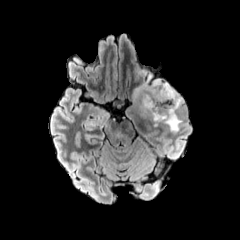
FLAIR MRI.
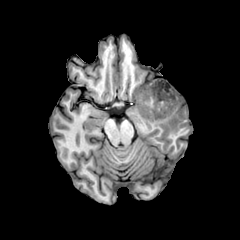
T1-weighted MR.
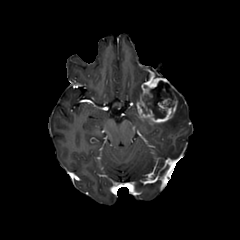
Post-contrast T1-weighted MR of the same slice.
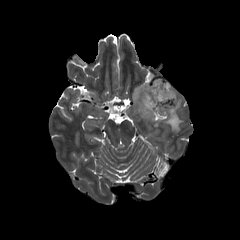
T2-weighted MR image.
Axial view
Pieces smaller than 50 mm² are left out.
The 2 largest peritumoral edema regions appear at x1=132 y1=85 x2=141 y2=105, x1=159 y1=89 x2=183 y2=132. The largest necrotic tumor core region is bounded by x1=141 y1=81 x2=174 y2=119. The largest enhancing tumor region is located at x1=136 y1=75 x2=177 y2=123.